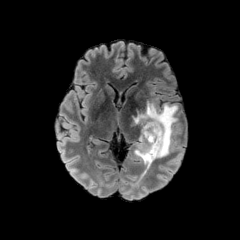
FLAIR magnetic resonance.
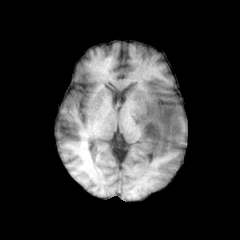
T1-weighted MR of the same slice.
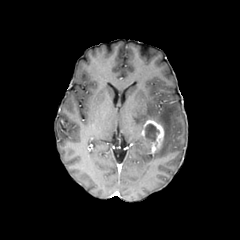
Same slice, post-contrast T1-weighted MR.
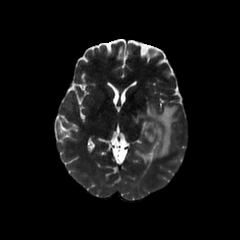
T2-weighted MRI.
Brain
enhancing tumor at x1=141, y1=118, x2=164, y2=153
peritumoral edema at x1=134, y1=102, x2=177, y2=164
necrotic tumor core at x1=145, y1=124, x2=159, y2=141